Slice 91/155. Brain.
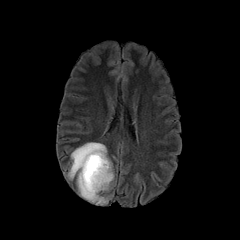
FLAIR MR.
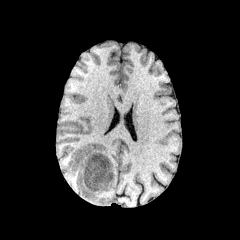
Same slice, T1-weighted MR image.
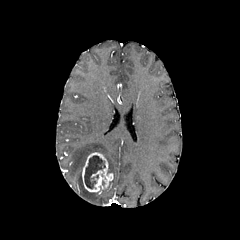
Same slice, post-contrast T1-weighted MRI.
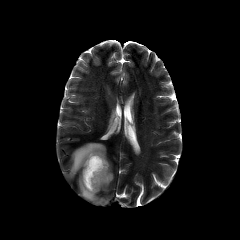
T2-weighted magnetic resonance.
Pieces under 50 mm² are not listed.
necrotic tumor core: (x1=84, y1=155, x2=105, y2=188) | peritumoral edema: (x1=67, y1=142, x2=114, y2=204) | enhancing tumor: (x1=82, y1=152, x2=112, y2=192)